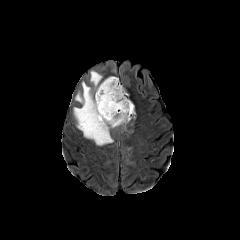
FLAIR MR image.
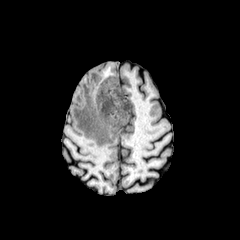
Same slice, T1-weighted magnetic resonance.
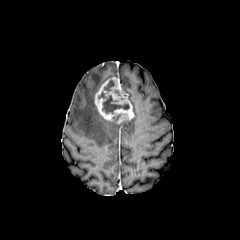
Post-contrast T1-weighted MR.
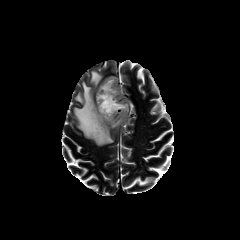
T2-weighted MR image of the same slice.
240x240
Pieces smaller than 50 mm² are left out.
The largest peritumoral edema region is bounded by {"x1": 73, "y1": 71, "x2": 129, "y2": 145}. The 2 largest necrotic tumor core regions are bounded by {"x1": 104, "y1": 80, "x2": 114, "y2": 92}, {"x1": 98, "y1": 92, "x2": 129, "y2": 113}. The enhancing tumor is bounded by {"x1": 95, "y1": 77, "x2": 133, "y2": 123}.